FLAIR magnetic resonance.
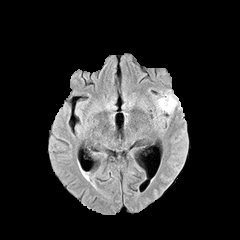
T1-weighted MR.
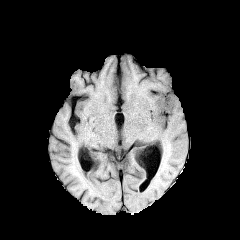
Post-contrast T1-weighted MR.
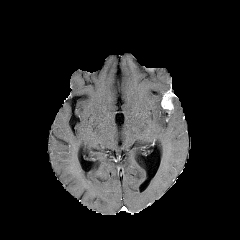
T2-weighted magnetic resonance.
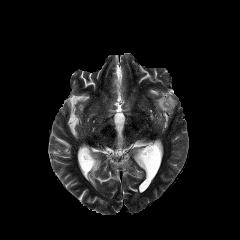
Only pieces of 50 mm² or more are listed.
The largest peritumoral edema region appears at rect(157, 97, 166, 111). The enhancing tumor is bounded by rect(161, 89, 176, 113).